Axial view. Head.
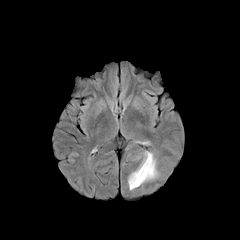
FLAIR magnetic resonance.
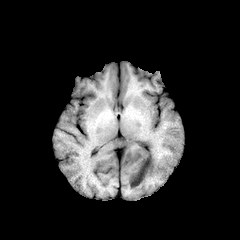
T1-weighted magnetic resonance.
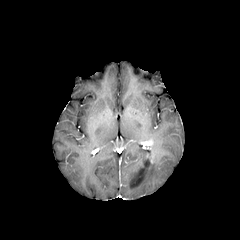
Same slice, post-contrast T1-weighted MR.
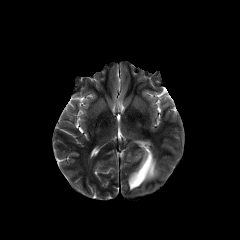
Same slice, T2-weighted MR.
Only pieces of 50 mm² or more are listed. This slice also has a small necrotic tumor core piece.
enhancing tumor = 146, 153, 153, 163
peritumoral edema = 128, 151, 158, 190